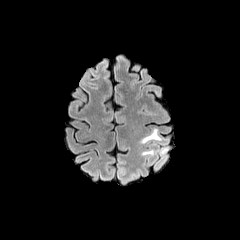
FLAIR MR.
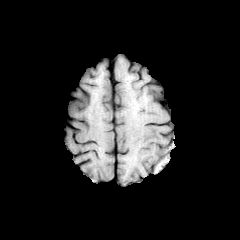
Same slice, T1-weighted MRI.
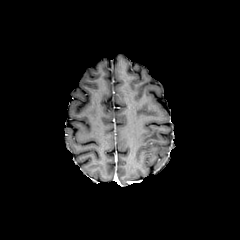
Same slice, post-contrast T1-weighted magnetic resonance.
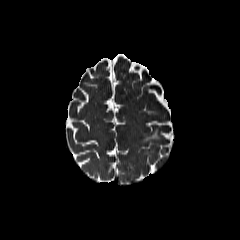
T2-weighted MR of the same slice.
Head
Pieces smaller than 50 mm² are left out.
peritumoral_edema:
  - (left=142, top=149, right=153, bottom=154)
  - (left=141, top=129, right=160, bottom=143)